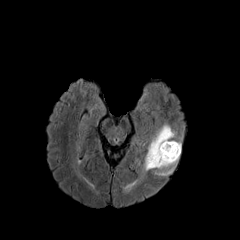
FLAIR magnetic resonance.
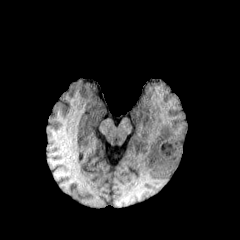
T1-weighted MR of the same slice.
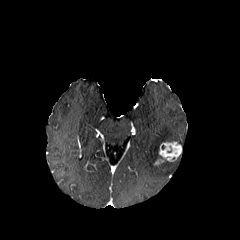
Post-contrast T1-weighted MR image.
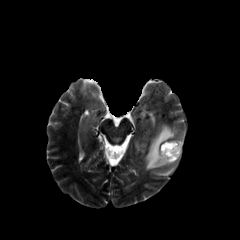
T2-weighted magnetic resonance of the same slice.
240x240 px
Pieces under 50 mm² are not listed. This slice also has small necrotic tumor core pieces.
<segmentation>
  <enhancing_tumor>rect(154, 141, 181, 165)</enhancing_tumor>
  <peritumoral_edema>rect(144, 124, 178, 175)</peritumoral_edema>
</segmentation>